Slice 47/155; Axial plane; 240x240; Head
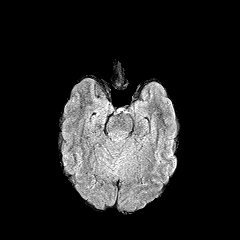
FLAIR MR.
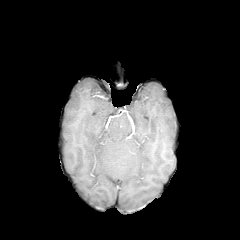
Same slice, T1-weighted MR.
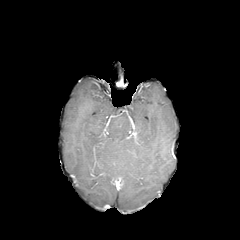
Post-contrast T1-weighted magnetic resonance.
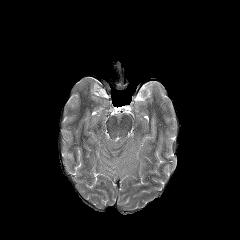
T2-weighted MR image.
peritumoral edema: left=115, top=151, right=127, bottom=167